Axial view, Slice index 74
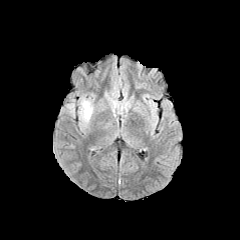
FLAIR MR.
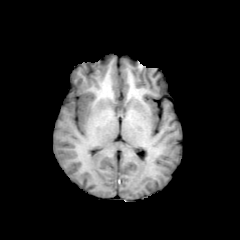
T1-weighted MR image of the same slice.
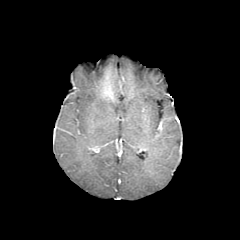
Post-contrast T1-weighted MRI.
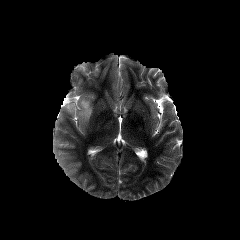
T2-weighted magnetic resonance.
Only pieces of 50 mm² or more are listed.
peritumoral edema at l=79, t=99, r=92, b=122